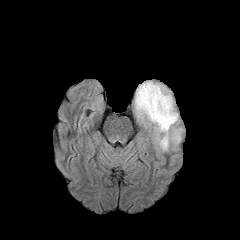
FLAIR MR image.
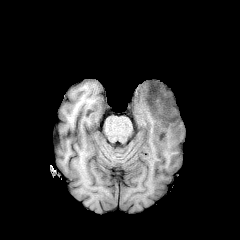
T1-weighted MR.
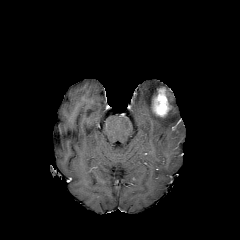
Post-contrast T1-weighted MR image of the same slice.
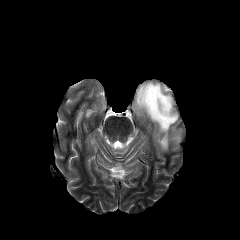
Same slice, T2-weighted MR image.
Axial slice | Brain
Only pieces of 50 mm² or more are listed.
enhancing tumor — bbox=[151, 87, 172, 117]
peritumoral edema — bbox=[134, 81, 182, 151]